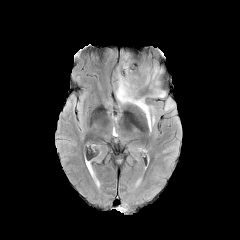
FLAIR magnetic resonance.
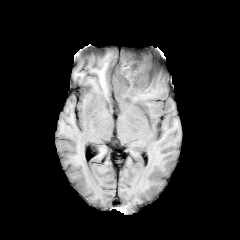
Same slice, T1-weighted MR image.
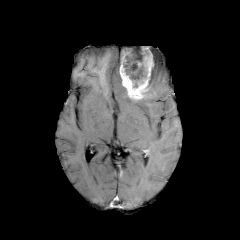
Post-contrast T1-weighted MR.
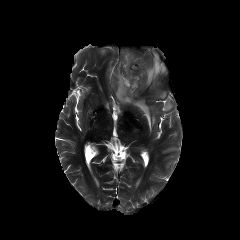
T2-weighted MR.
Brain; Axial view
<segmentation>
  <enhancing_tumor>bbox=[119, 49, 157, 99]</enhancing_tumor>
  <peritumoral_edema>bbox=[116, 60, 165, 131]; bbox=[165, 99, 173, 110]</peritumoral_edema>
  <necrotic_tumor_core>bbox=[124, 48, 149, 80]</necrotic_tumor_core>
</segmentation>